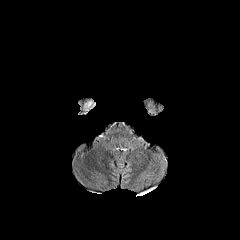
FLAIR MRI.
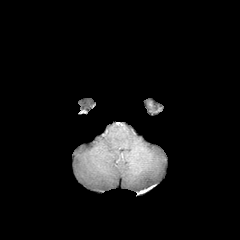
T1-weighted MR of the same slice.
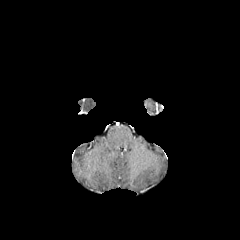
Post-contrast T1-weighted magnetic resonance of the same slice.
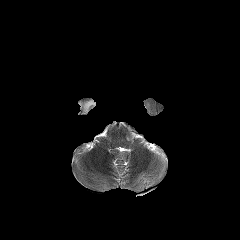
T2-weighted MRI.
Head. Axial plane.
Annotated regions:
• peritumoral edema: bbox(85, 101, 95, 109)